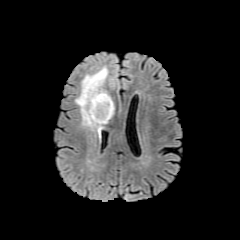
FLAIR MR image.
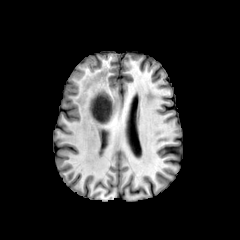
T1-weighted MR of the same slice.
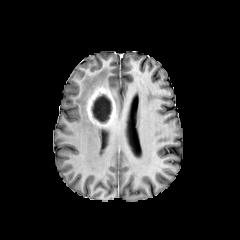
Post-contrast T1-weighted MR.
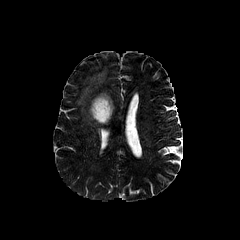
T2-weighted MR image of the same slice.
Head
* enhancing tumor: x1=86, y1=87, x2=115, y2=126
* peritumoral edema: x1=75, y1=66, x2=107, y2=138
* necrotic tumor core: x1=91, y1=94, x2=111, y2=123